Head; 240x240 px
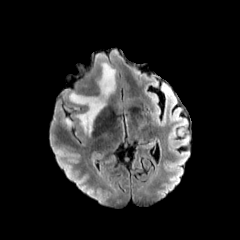
FLAIR MRI.
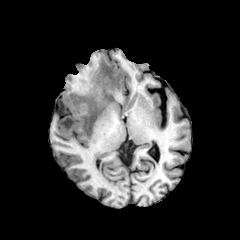
Same slice, T1-weighted MRI.
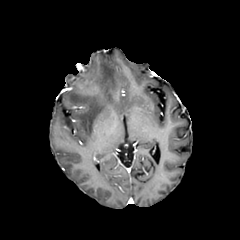
Post-contrast T1-weighted MRI of the same slice.
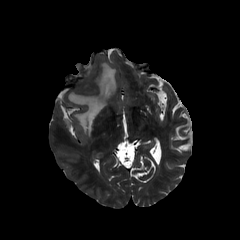
Same slice, T2-weighted MRI.
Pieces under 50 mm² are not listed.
{"peritumoral_edema": ["region(69, 62, 116, 135)"]}